Slice 92/155. Axial view.
FLAIR MRI.
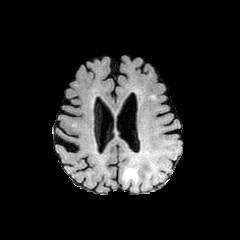
T1-weighted MR.
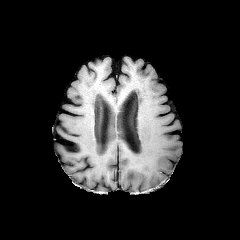
Post-contrast T1-weighted MRI.
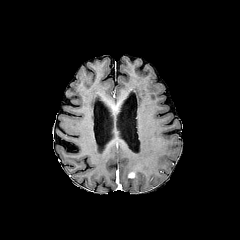
T2-weighted MR image.
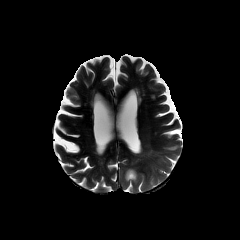
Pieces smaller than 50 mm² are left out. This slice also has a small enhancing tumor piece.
The largest peritumoral edema region appears at 126 155 139 185.